Axial view; 240x240; Brain; Slice 73 of 155
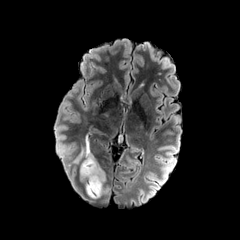
FLAIR magnetic resonance.
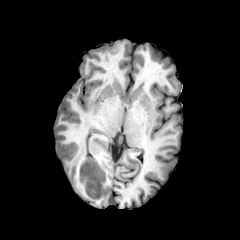
T1-weighted MR image.
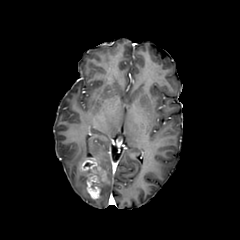
Same slice, post-contrast T1-weighted MR image.
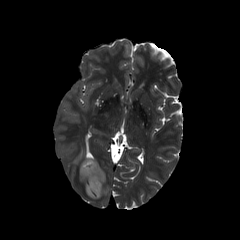
T2-weighted MR image of the same slice.
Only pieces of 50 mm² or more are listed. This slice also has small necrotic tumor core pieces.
enhancing tumor — left=81, top=157, right=105, bottom=199
peritumoral edema — left=75, top=135, right=94, bottom=162; left=99, top=180, right=107, bottom=198; left=79, top=166, right=89, bottom=196